Brain | Image width 240 mm, 1.00 mm slice spacing
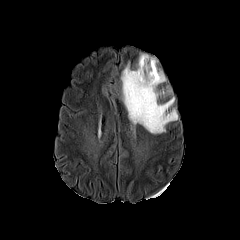
FLAIR MR.
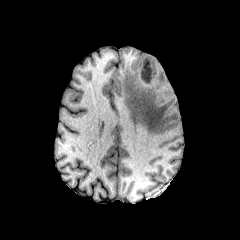
T1-weighted MR.
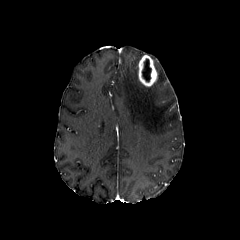
Post-contrast T1-weighted magnetic resonance.
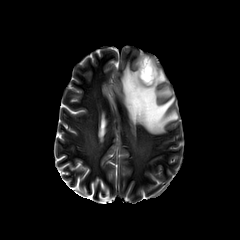
T2-weighted MR image.
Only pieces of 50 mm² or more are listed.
<segmentation>
  <necrotic_tumor_core>[142,59,151,81]</necrotic_tumor_core>
  <enhancing_tumor>[138,54,157,86]</enhancing_tumor>
  <peritumoral_edema>[121,59,178,134]</peritumoral_edema>
</segmentation>